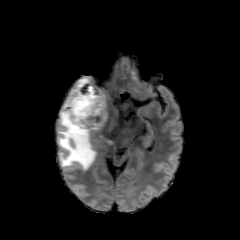
FLAIR magnetic resonance.
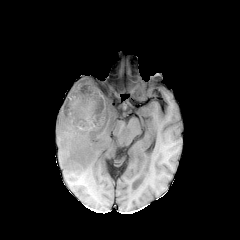
T1-weighted MR.
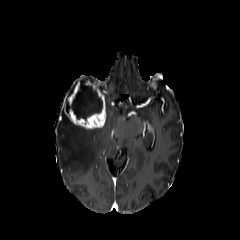
Post-contrast T1-weighted MR of the same slice.
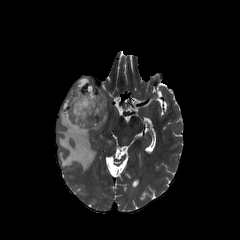
T2-weighted MRI of the same slice.
240x240 px
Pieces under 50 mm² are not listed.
The largest peritumoral edema region is bounded by [58, 91, 119, 170]. The necrotic tumor core is located at [66, 81, 102, 119]. The enhancing tumor appears at [63, 79, 106, 129].